FLAIR MRI.
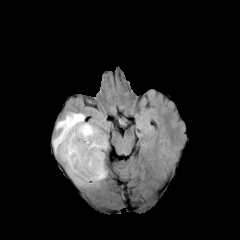
T1-weighted MRI.
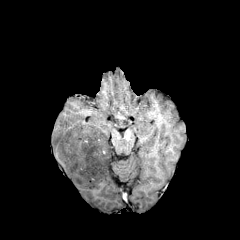
Post-contrast T1-weighted MRI.
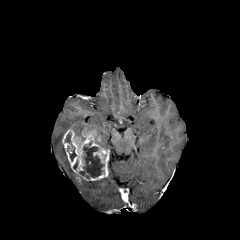
T2-weighted magnetic resonance.
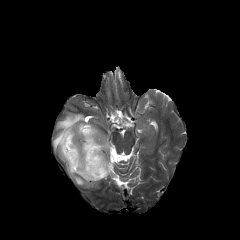
Head; Image size 240x240
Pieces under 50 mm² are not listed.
The largest peritumoral edema region is at (x1=53, y1=112, x2=108, y2=187). The largest necrotic tumor core region is at (x1=79, y1=146, x2=103, y2=178). The largest enhancing tumor region is bounded by (x1=62, y1=126, x2=108, y2=182).